FLAIR MRI.
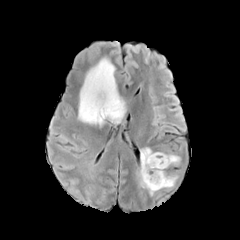
T1-weighted MRI.
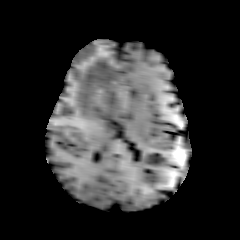
Post-contrast T1-weighted MRI.
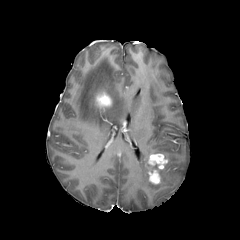
T2-weighted magnetic resonance.
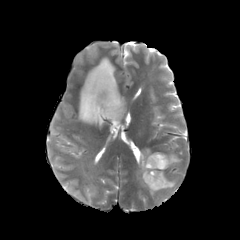
Axial slice
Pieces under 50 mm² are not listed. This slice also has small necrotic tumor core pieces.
2 enhancing tumor regions appear at 95,92,112,108; 147,153,168,184. 2 peritumoral edema regions are bounded by 140,148,182,194; 78,57,125,126.